Slice 113/155; Image width 240 mm, 1.00 mm slice spacing; 240x240
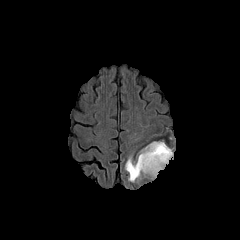
FLAIR MRI.
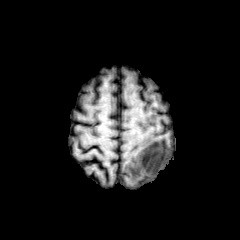
T1-weighted MR image.
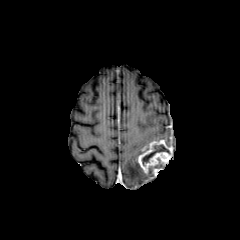
Post-contrast T1-weighted MRI.
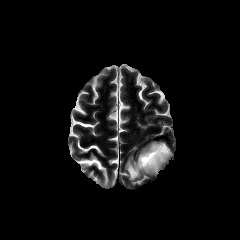
T2-weighted magnetic resonance.
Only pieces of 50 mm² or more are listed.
peritumoral edema at 125,155,146,182
enhancing tumor at 138,140,172,176
necrotic tumor core at 142,145,169,164